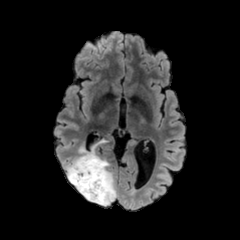
FLAIR magnetic resonance.
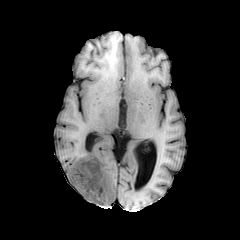
T1-weighted magnetic resonance.
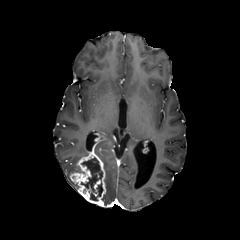
Post-contrast T1-weighted MR of the same slice.
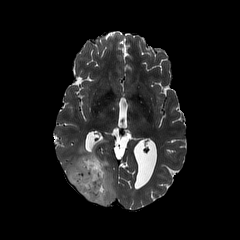
T2-weighted MRI.
Axial slice
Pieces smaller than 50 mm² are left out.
The necrotic tumor core is located at x1=81 y1=157 x2=102 y2=200. 2 peritumoral edema regions appear at x1=100 y1=157 x2=116 y2=205, x1=65 y1=139 x2=106 y2=186. The 2 largest enhancing tumor regions appear at x1=69 y1=149 x2=106 y2=205, x1=93 y1=180 x2=100 y2=195.